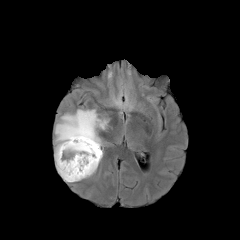
FLAIR MR image.
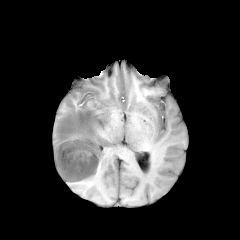
T1-weighted MR.
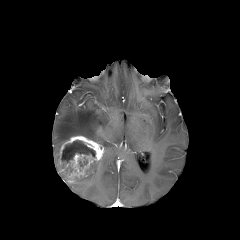
Same slice, post-contrast T1-weighted magnetic resonance.
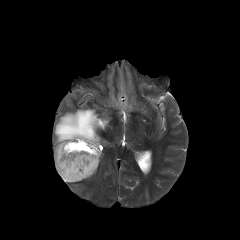
Same slice, T2-weighted magnetic resonance.
Head | Axial view
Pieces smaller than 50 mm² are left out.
The 2 largest peritumoral edema regions are located at bbox(76, 160, 100, 181); bbox(54, 109, 108, 165). The enhancing tumor is at bbox(56, 136, 103, 182). The largest necrotic tumor core region is at bbox(61, 140, 95, 162).